FLAIR MR image.
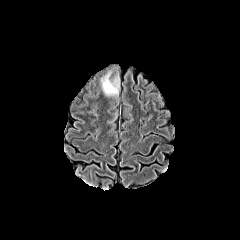
T1-weighted MRI.
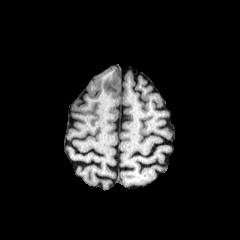
Post-contrast T1-weighted MR.
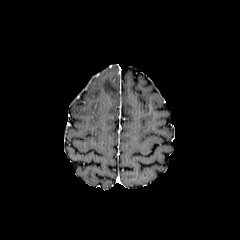
T2-weighted MRI.
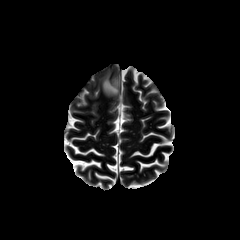
Head; Axial view
The peritumoral edema is bounded by (101, 72, 119, 96).